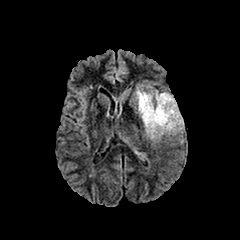
FLAIR MR.
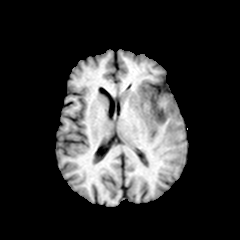
T1-weighted magnetic resonance.
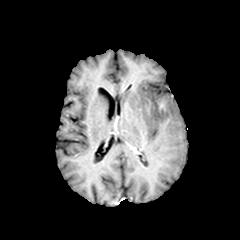
Post-contrast T1-weighted MR image.
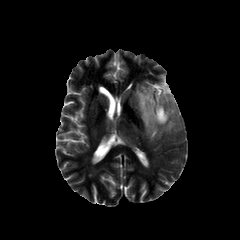
T2-weighted magnetic resonance.
Axial view. Head.
necrotic_tumor_core:
  - (156, 111, 164, 120)
peritumoral_edema:
  - (135, 86, 183, 139)
enhancing_tumor:
  - (151, 104, 169, 125)